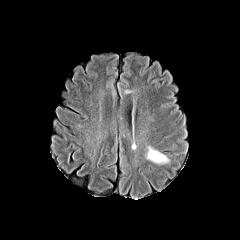
FLAIR magnetic resonance.
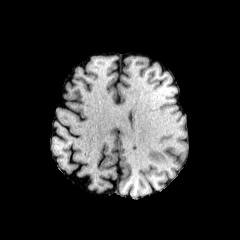
T1-weighted MR image of the same slice.
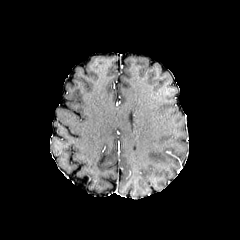
Post-contrast T1-weighted MRI of the same slice.
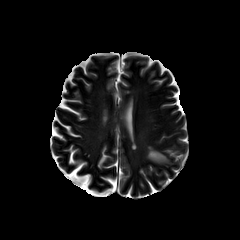
T2-weighted MR of the same slice.
Head.
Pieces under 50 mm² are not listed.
{"peritumoral_edema": ["region(146, 146, 169, 165)"]}